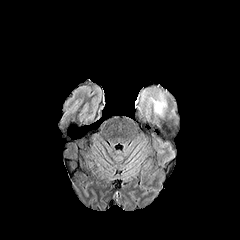
FLAIR magnetic resonance.
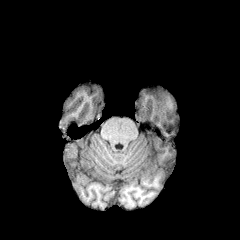
T1-weighted MRI.
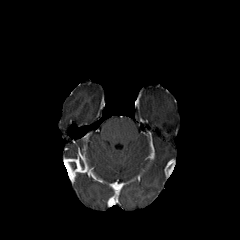
Post-contrast T1-weighted MR image.
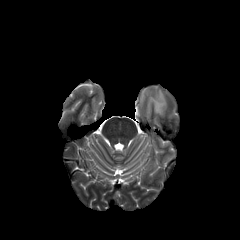
T2-weighted magnetic resonance.
Axial slice | Brain
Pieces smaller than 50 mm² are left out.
<segmentation>
  <peritumoral_edema>left=149, top=90, right=167, bottom=116</peritumoral_edema>
</segmentation>